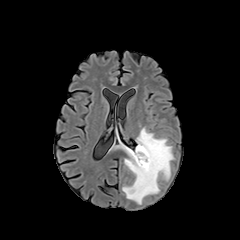
FLAIR MR image.
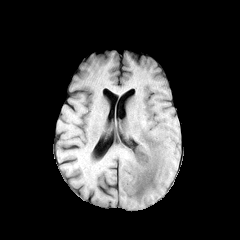
T1-weighted MRI.
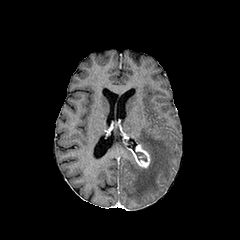
Same slice, post-contrast T1-weighted magnetic resonance.
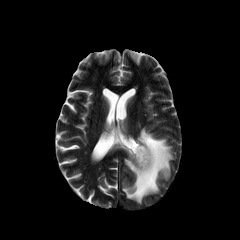
T2-weighted magnetic resonance of the same slice.
Brain
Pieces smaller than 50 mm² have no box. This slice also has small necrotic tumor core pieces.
The enhancing tumor is at 129 144 150 168. The peritumoral edema appears at 116 127 174 204.